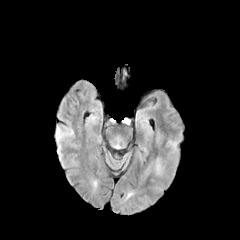
FLAIR magnetic resonance.
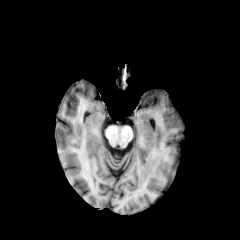
T1-weighted MR image.
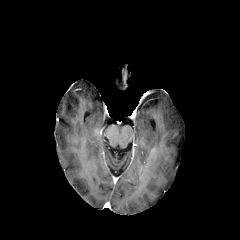
Post-contrast T1-weighted MRI of the same slice.
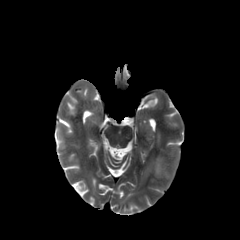
T2-weighted MR.
The peritumoral edema lies within rect(144, 158, 162, 173).